FLAIR magnetic resonance.
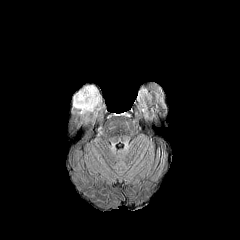
T1-weighted MR image.
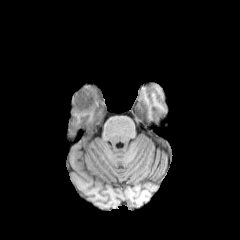
Post-contrast T1-weighted magnetic resonance.
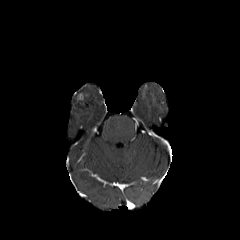
T2-weighted magnetic resonance.
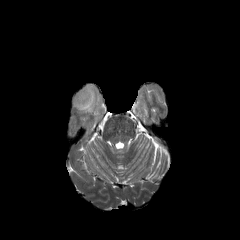
Head. Image size 240x240.
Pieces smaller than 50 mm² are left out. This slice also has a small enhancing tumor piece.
<segmentation>
  <peritumoral_edema>rect(71, 83, 104, 114)</peritumoral_edema>
</segmentation>